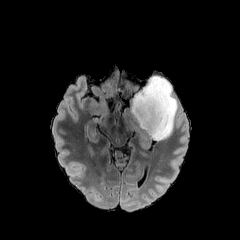
FLAIR MR.
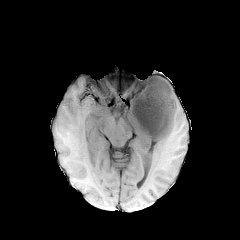
T1-weighted MR image.
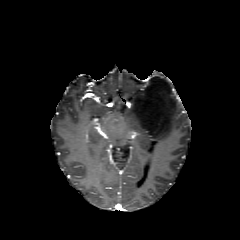
Same slice, post-contrast T1-weighted magnetic resonance.
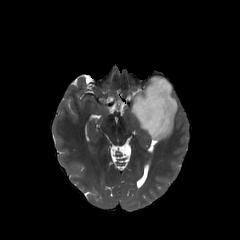
T2-weighted MR image of the same slice.
Brain. Image size 240x240. Axial view.
The peritumoral edema lies within left=123, top=76, right=178, bottom=140.